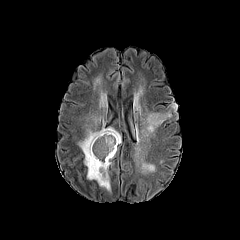
FLAIR MRI.
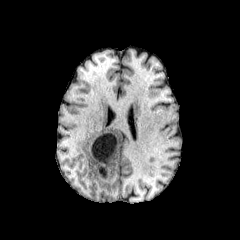
Same slice, T1-weighted MR.
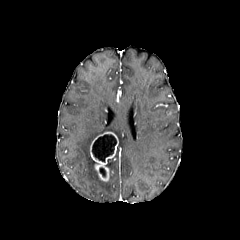
Post-contrast T1-weighted magnetic resonance.
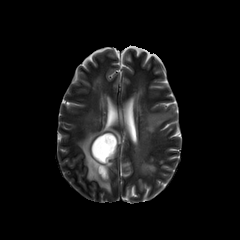
T2-weighted MRI.
Head, Axial plane
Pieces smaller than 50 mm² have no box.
The 5 largest peritumoral edema regions are located at {"x1": 78, "y1": 123, "x2": 121, "y2": 192}, {"x1": 100, "y1": 94, "x2": 107, "y2": 108}, {"x1": 134, "y1": 93, "x2": 140, "y2": 110}, {"x1": 141, "y1": 112, "x2": 170, "y2": 135}, {"x1": 143, "y1": 163, "x2": 154, "y2": 171}. The enhancing tumor is bounded by {"x1": 90, "y1": 132, "x2": 118, "y2": 181}. The largest necrotic tumor core region lies within {"x1": 92, "y1": 134, "x2": 116, "y2": 161}.